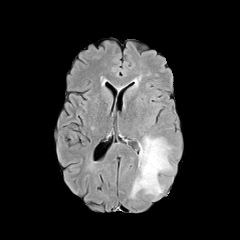
FLAIR MR image.
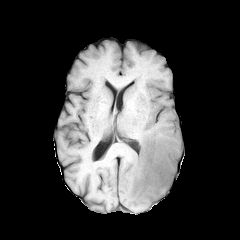
Same slice, T1-weighted MRI.
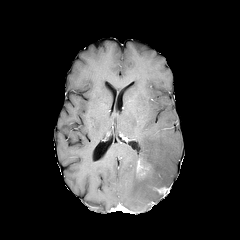
Post-contrast T1-weighted MRI of the same slice.
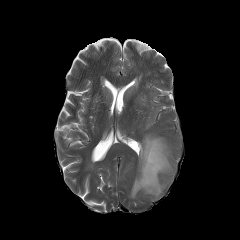
T2-weighted MRI of the same slice.
Axial view, Brain, Image size 240x240
- enhancing tumor: 155,187,167,193; 137,160,150,177
- peritumoral edema: 130,135,173,198